Brain; Image covers 240 mm x 240 mm; Slice 91 of 155
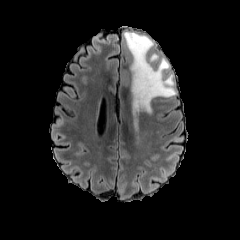
FLAIR MRI.
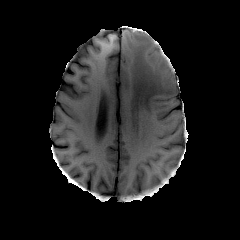
T1-weighted MRI.
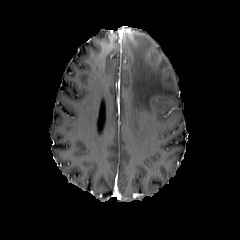
Same slice, post-contrast T1-weighted magnetic resonance.
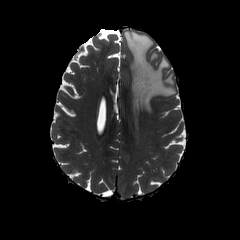
T2-weighted magnetic resonance of the same slice.
The peritumoral edema appears at bbox=[123, 31, 175, 116].